240x240, Head, Axial slice
FLAIR MR.
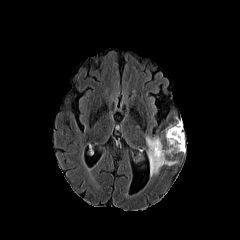
T1-weighted MR.
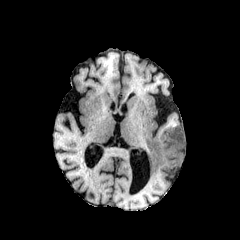
Post-contrast T1-weighted magnetic resonance.
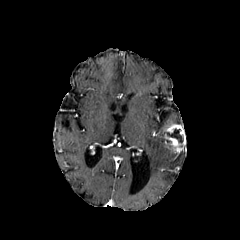
T2-weighted MR image.
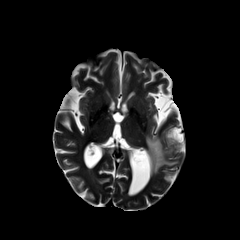
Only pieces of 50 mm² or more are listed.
necrotic tumor core — bbox=[166, 129, 183, 143]
peritumoral edema — bbox=[145, 135, 177, 176]
enhancing tumor — bbox=[165, 124, 186, 153]